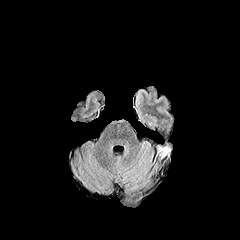
FLAIR MRI.
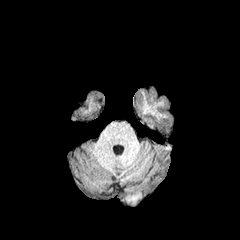
Same slice, T1-weighted MRI.
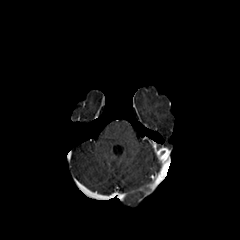
Post-contrast T1-weighted magnetic resonance.
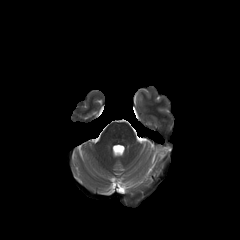
Same slice, T2-weighted magnetic resonance.
Axial plane
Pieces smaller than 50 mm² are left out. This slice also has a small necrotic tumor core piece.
enhancing tumor — box(157, 146, 170, 159)